Slice 91/155; Axial slice
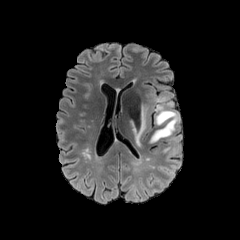
FLAIR MRI.
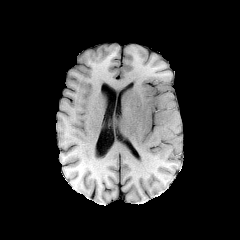
T1-weighted magnetic resonance.
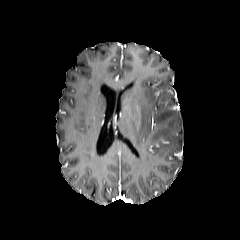
Post-contrast T1-weighted magnetic resonance of the same slice.
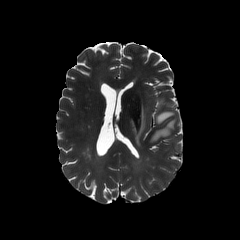
T2-weighted MR of the same slice.
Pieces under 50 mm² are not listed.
{
  "peritumoral_edema": [
    "box(133, 105, 146, 145)",
    "box(150, 104, 179, 142)"
  ]
}